240x240 px, Axial slice, Brain, Image width 240 mm, 1.00 mm slice spacing
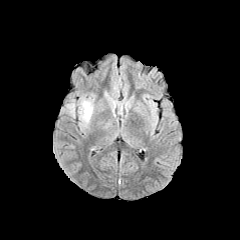
FLAIR MR.
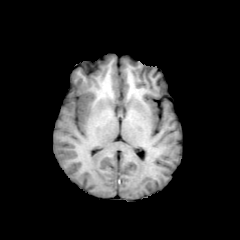
T1-weighted MRI of the same slice.
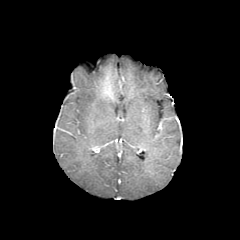
Same slice, post-contrast T1-weighted MR.
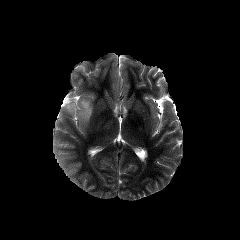
T2-weighted MR image.
<segmentation>
  <peritumoral_edema>[68, 103, 75, 115], [79, 100, 93, 123]</peritumoral_edema>
</segmentation>